Head; Axial plane; Slice 89/155
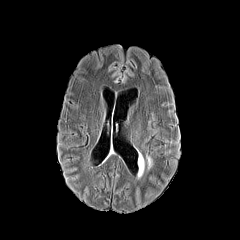
FLAIR MR image.
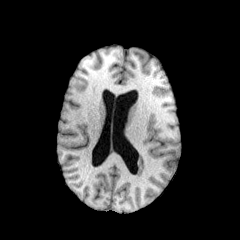
T1-weighted MRI.
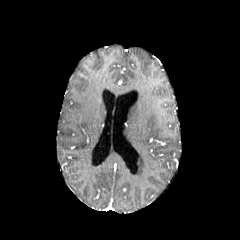
Same slice, post-contrast T1-weighted MR image.
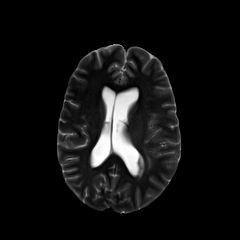
Same slice, T2-weighted magnetic resonance.
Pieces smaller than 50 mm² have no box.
The largest peritumoral edema region is bounded by (138,154,144,177).